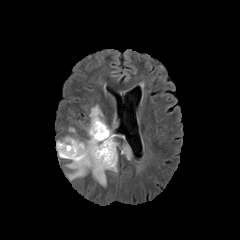
FLAIR MR image.
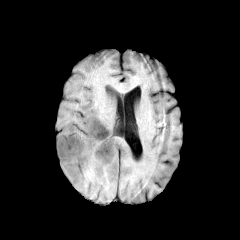
Same slice, T1-weighted magnetic resonance.
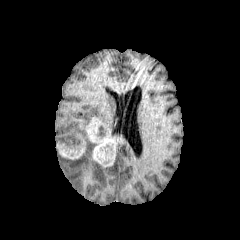
Same slice, post-contrast T1-weighted MRI.
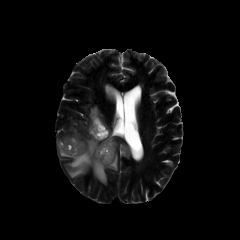
T2-weighted magnetic resonance.
Head
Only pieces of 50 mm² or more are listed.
<segmentation>
  <peritumoral_edema>[121, 145, 130, 159], [65, 137, 117, 186], [56, 127, 79, 147], [89, 105, 108, 127]</peritumoral_edema>
  <enhancing_tumor>[57, 136, 85, 159], [80, 117, 116, 167]</enhancing_tumor>
</segmentation>